Slice 98 of 155
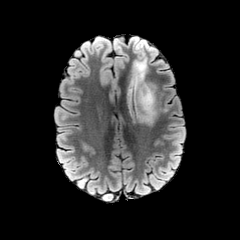
FLAIR MRI.
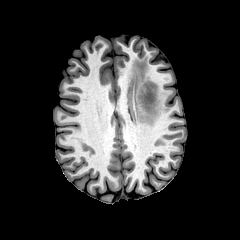
T1-weighted magnetic resonance of the same slice.
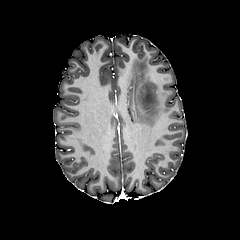
Post-contrast T1-weighted MR image.
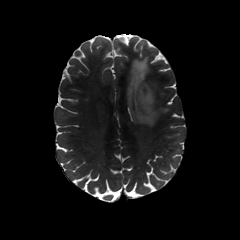
T2-weighted MRI of the same slice.
peritumoral edema = 127, 60, 158, 125